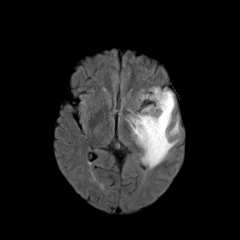
FLAIR magnetic resonance.
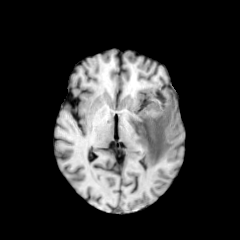
T1-weighted MRI of the same slice.
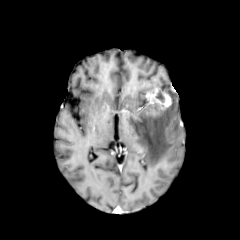
Post-contrast T1-weighted magnetic resonance.
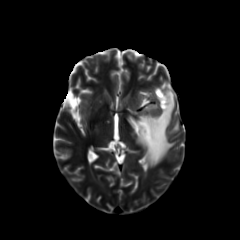
T2-weighted MR image.
Axial plane; Brain
The peritumoral edema is located at rect(128, 91, 178, 166). The necrotic tumor core is at rect(155, 90, 164, 102). The enhancing tumor is at rect(144, 87, 171, 117).